FLAIR MRI.
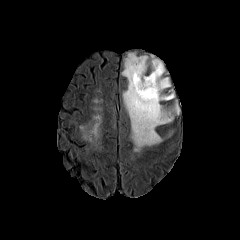
T1-weighted MR.
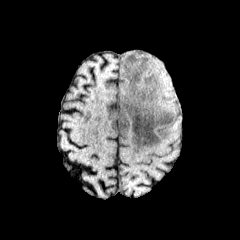
Post-contrast T1-weighted magnetic resonance.
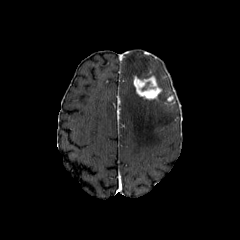
T2-weighted MRI.
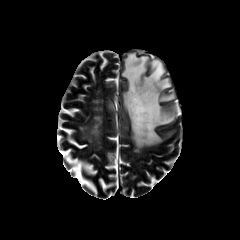
Image size 240x240
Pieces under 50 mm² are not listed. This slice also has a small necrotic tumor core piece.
The largest enhancing tumor region appears at (133, 75, 162, 100). The peritumoral edema appears at (122, 53, 179, 151).